FLAIR MR.
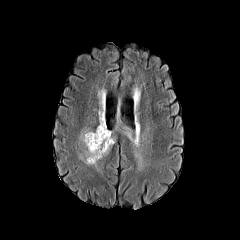
T1-weighted MR.
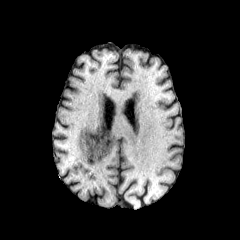
Post-contrast T1-weighted magnetic resonance.
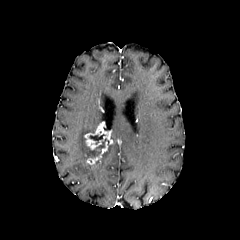
T2-weighted MR image.
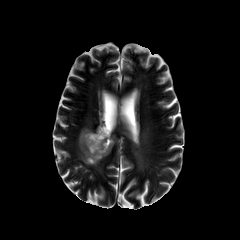
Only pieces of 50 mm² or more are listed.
The 5 largest peritumoral edema regions appear at x1=102, y1=140, x2=115, y2=156; x1=84, y1=147, x2=94, y2=157; x1=80, y1=130, x2=93, y2=142; x1=116, y1=123, x2=134, y2=143; x1=98, y1=106, x2=104, y2=122. The 2 largest necrotic tumor core regions are bounded by x1=93, y1=138, x2=109, y2=156; x1=89, y1=134, x2=105, y2=144. 2 enhancing tumor regions are bounded by x1=87, y1=141, x2=108, y2=164; x1=84, y1=122, x2=112, y2=150.